Head | 240x240 | Slice 119/155 | Axial view
FLAIR magnetic resonance.
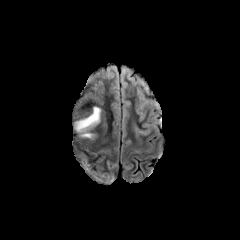
T1-weighted MR.
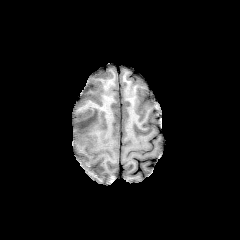
Post-contrast T1-weighted MR image.
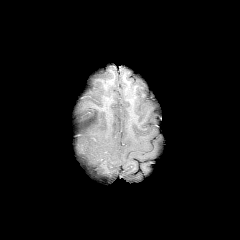
T2-weighted magnetic resonance.
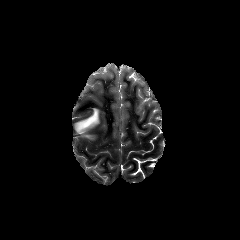
The peritumoral edema lies within {"x1": 74, "y1": 107, "x2": 101, "y2": 139}.